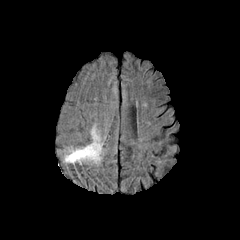
FLAIR MRI.
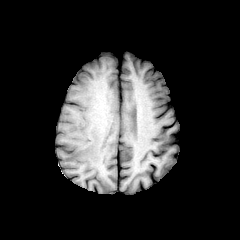
T1-weighted MR image.
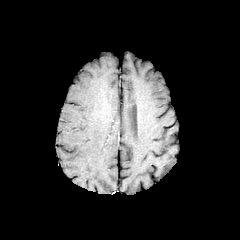
Post-contrast T1-weighted magnetic resonance.
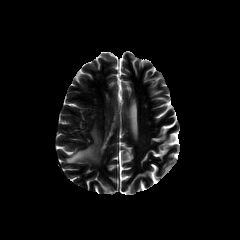
Same slice, T2-weighted MR image.
{"peritumoral_edema": ["64:127:101:163"]}